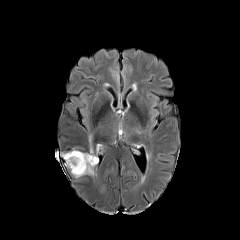
FLAIR magnetic resonance.
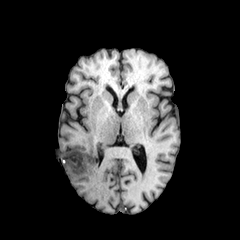
T1-weighted MRI of the same slice.
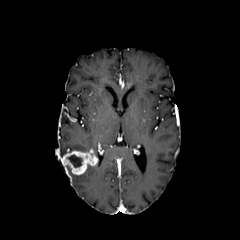
Post-contrast T1-weighted MRI.
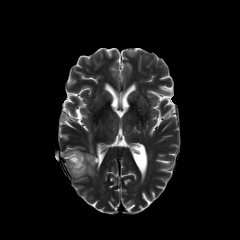
T2-weighted MR of the same slice.
Brain. Image size 240x240.
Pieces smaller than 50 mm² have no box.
{
  "enhancing_tumor": [
    "<bbox>63, 149, 98, 175</bbox>"
  ],
  "necrotic_tumor_core": [
    "<bbox>67, 155, 82, 167</bbox>"
  ],
  "peritumoral_edema": [
    "<bbox>74, 165, 94, 177</bbox>"
  ]
}